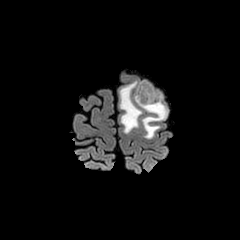
FLAIR MRI.
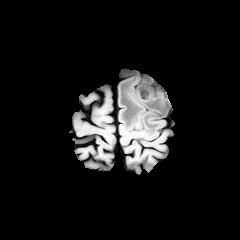
T1-weighted MR image.
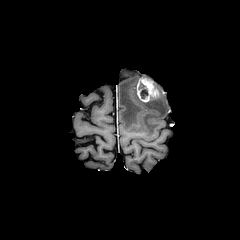
Same slice, post-contrast T1-weighted MRI.
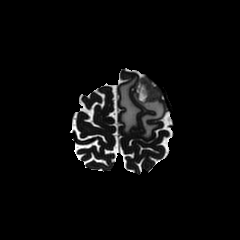
T2-weighted MR image.
Axial plane | Brain
necrotic tumor core: bounding box region(138, 82, 147, 98)
peritumoral edema: bounding box region(119, 80, 167, 138)
enhancing tumor: bounding box region(136, 77, 159, 102)